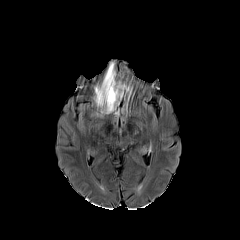
FLAIR magnetic resonance.
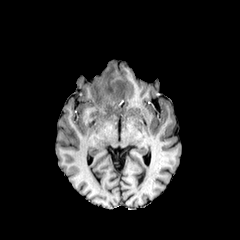
T1-weighted MR of the same slice.
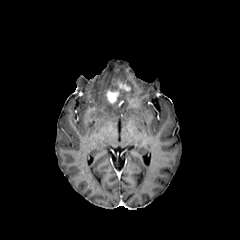
Post-contrast T1-weighted MR of the same slice.
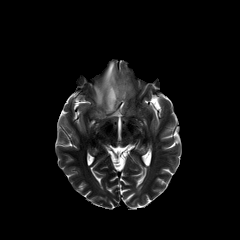
T2-weighted magnetic resonance.
Axial view, Head
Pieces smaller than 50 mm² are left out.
<segmentation>
  <peritumoral_edema>region(94, 62, 125, 115)</peritumoral_edema>
  <enhancing_tumor>region(105, 81, 130, 104)</enhancing_tumor>
</segmentation>